FLAIR MR image.
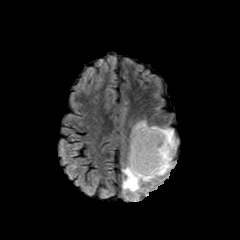
T1-weighted MR image.
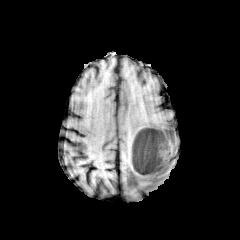
Post-contrast T1-weighted MR.
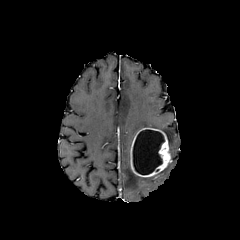
T2-weighted MR image.
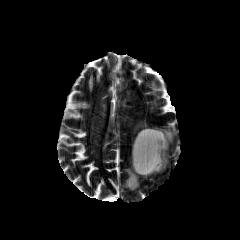
Axial view | Head
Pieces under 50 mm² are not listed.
* necrotic tumor core: {"x1": 133, "y1": 130, "x2": 164, "y2": 174}
* enhancing tumor: {"x1": 130, "y1": 127, "x2": 171, "y2": 177}
* peritumoral edema: {"x1": 151, "y1": 126, "x2": 176, "y2": 157}, {"x1": 131, "y1": 120, "x2": 148, "y2": 143}, {"x1": 122, "y1": 151, "x2": 172, "y2": 192}